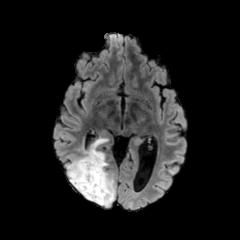
FLAIR MR image.
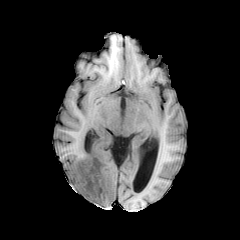
T1-weighted MRI of the same slice.
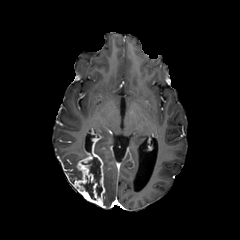
Post-contrast T1-weighted MR.
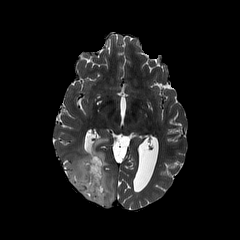
T2-weighted magnetic resonance.
Head
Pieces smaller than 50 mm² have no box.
Findings:
- peritumoral edema: <box>103,169,115,206</box>, <box>66,137,108,183</box>
- necrotic tumor core: <box>80,157,102,199</box>
- enhancing tumor: <box>71,148,105,206</box>